FLAIR MR.
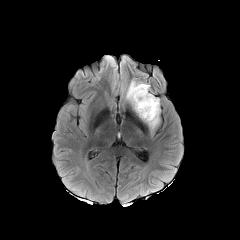
T1-weighted MR.
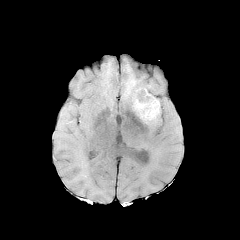
Post-contrast T1-weighted MRI.
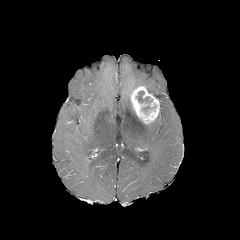
T2-weighted magnetic resonance.
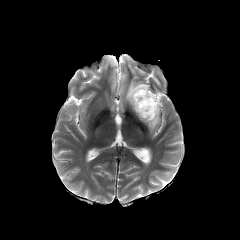
Axial slice
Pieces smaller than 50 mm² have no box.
The necrotic tumor core is at <box>136,91,156,114</box>. The enhancing tumor appears at <box>130,86,159,123</box>. The 2 largest peritumoral edema regions appear at <box>148,108,160,130</box>, <box>125,80,150,104</box>.